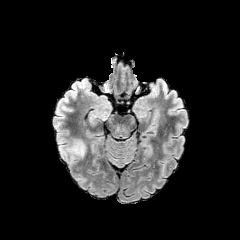
FLAIR MRI.
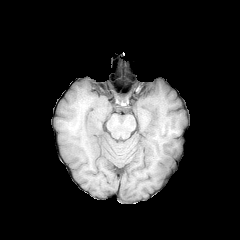
T1-weighted MRI of the same slice.
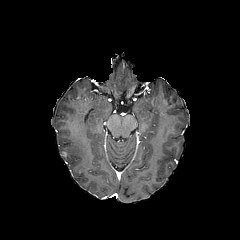
Post-contrast T1-weighted magnetic resonance.
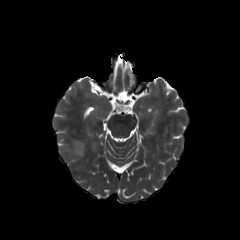
T2-weighted magnetic resonance of the same slice.
Axial slice; 240x240
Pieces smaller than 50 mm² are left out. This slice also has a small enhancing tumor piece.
The peritumoral edema is located at bbox(59, 140, 85, 163).